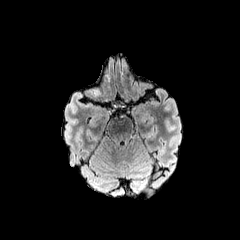
FLAIR MRI.
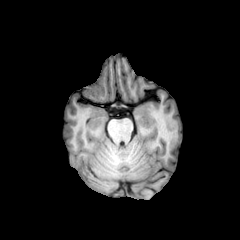
T1-weighted MRI.
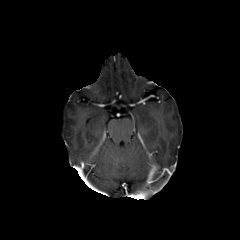
Post-contrast T1-weighted MR.
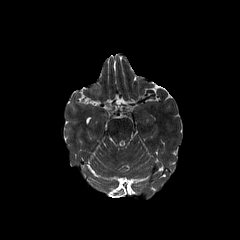
Same slice, T2-weighted MR.
Axial plane, 240x240 px
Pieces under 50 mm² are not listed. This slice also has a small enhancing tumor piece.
<segmentation>
  <peritumoral_edema>[89, 88, 100, 96]</peritumoral_edema>
</segmentation>